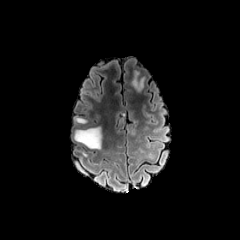
FLAIR MR.
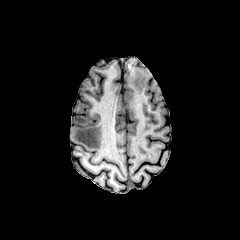
T1-weighted MR image.
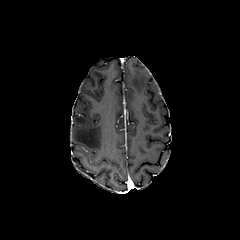
Post-contrast T1-weighted MR image.
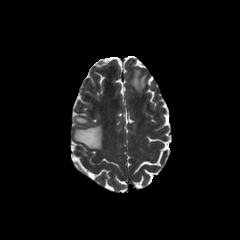
Same slice, T2-weighted MR image.
Brain; Axial slice
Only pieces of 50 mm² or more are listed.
The 3 largest peritumoral edema regions are located at (left=75, top=117, right=87, bottom=123), (left=74, top=126, right=101, bottom=149), (left=131, top=71, right=145, bottom=92).